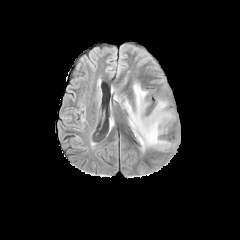
FLAIR MRI.
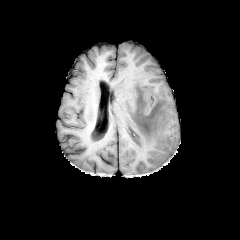
Same slice, T1-weighted magnetic resonance.
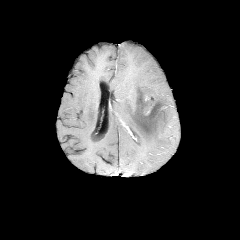
Same slice, post-contrast T1-weighted MR image.
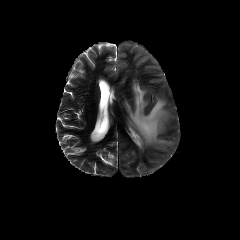
T2-weighted MR image.
Brain. 240x240 px.
peritumoral edema — (123,82,171,150)